FLAIR MRI.
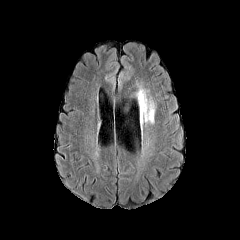
T1-weighted MR image.
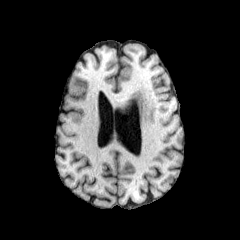
Post-contrast T1-weighted MRI.
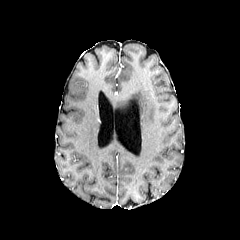
T2-weighted MR.
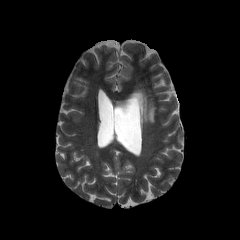
<segmentation>
  <peritumoral_edema>x1=136, y1=88, x2=154, y2=126</peritumoral_edema>
</segmentation>